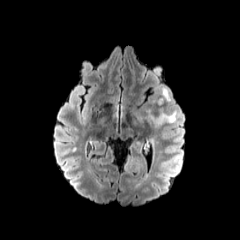
FLAIR magnetic resonance.
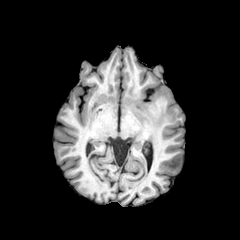
T1-weighted MR.
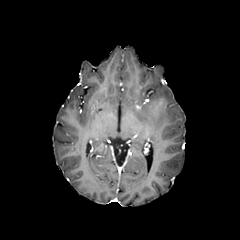
Same slice, post-contrast T1-weighted MRI.
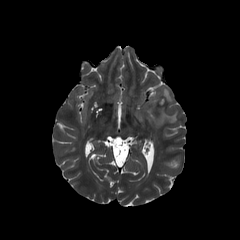
Same slice, T2-weighted MR.
Axial plane, Brain
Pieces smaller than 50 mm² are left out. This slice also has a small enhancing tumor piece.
peritumoral edema: rect(157, 87, 170, 103); rect(146, 108, 176, 126)